FLAIR MR.
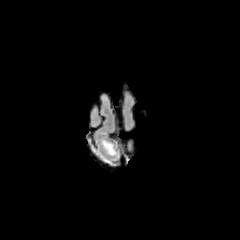
T1-weighted MRI.
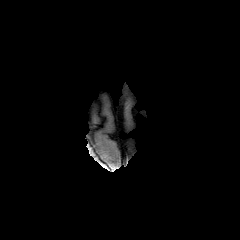
Post-contrast T1-weighted magnetic resonance.
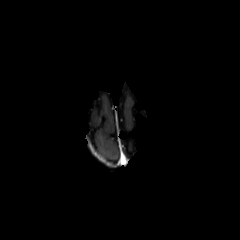
T2-weighted MR image.
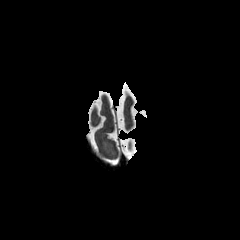
Axial view
peritumoral edema: l=102, t=140, r=114, b=154